FLAIR MR image.
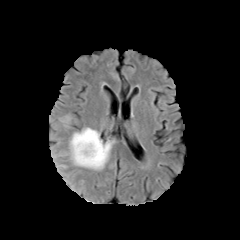
T1-weighted magnetic resonance.
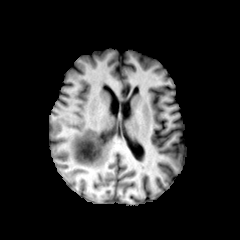
Post-contrast T1-weighted magnetic resonance.
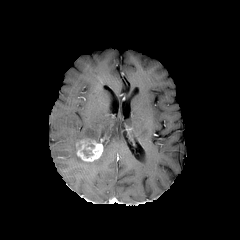
T2-weighted MR.
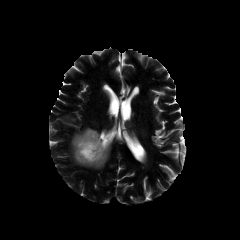
Axial plane. Image size 240x240. Brain.
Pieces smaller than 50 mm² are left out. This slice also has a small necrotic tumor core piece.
{"peritumoral_edema": ["box=[70, 127, 113, 169]"], "enhancing_tumor": ["box=[76, 138, 103, 162]"]}